Slice 91/155
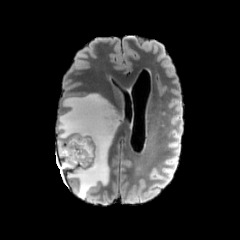
FLAIR MR.
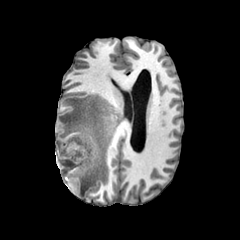
T1-weighted magnetic resonance.
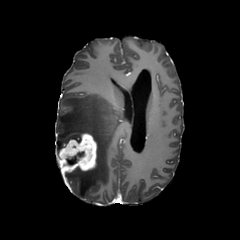
Post-contrast T1-weighted MR.
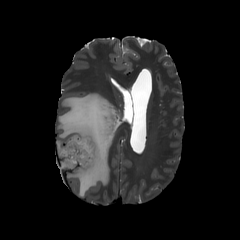
T2-weighted MRI of the same slice.
Findings:
* peritumoral edema: x1=57 y1=93 x2=120 y2=197
* necrotic tumor core: x1=66 y1=151 x2=84 y2=165
* enhancing tumor: x1=58 y1=132 x2=97 y2=172